FLAIR MR.
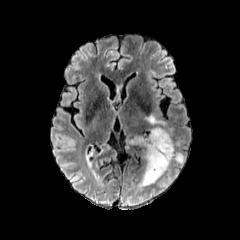
T1-weighted MR.
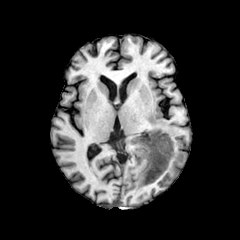
Post-contrast T1-weighted MR.
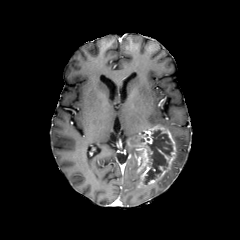
T2-weighted MR image.
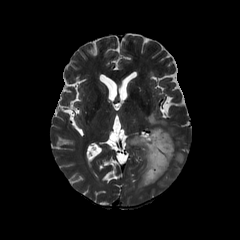
240x240 px.
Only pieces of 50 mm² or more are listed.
peritumoral edema: bounding box [173, 151, 185, 165], [145, 114, 166, 126]
enhancing tumor: bounding box [132, 125, 176, 187]
necrotic tumor core: bounding box [144, 130, 172, 184]